FLAIR MR.
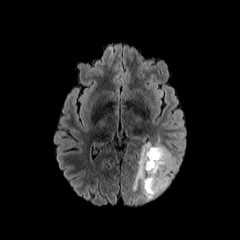
T1-weighted MR.
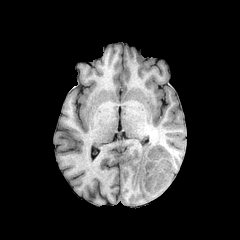
Post-contrast T1-weighted MRI.
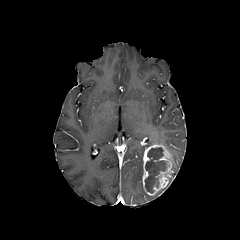
T2-weighted MRI.
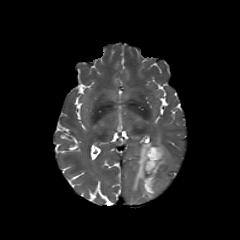
Brain, Axial plane
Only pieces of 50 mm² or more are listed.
peritumoral edema: (170,155,178,177), (132,137,165,199) | enhancing tumor: (142,144,172,195) | necrotic tumor core: (145,147,167,193)